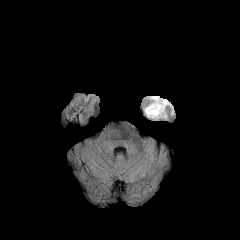
FLAIR MRI.
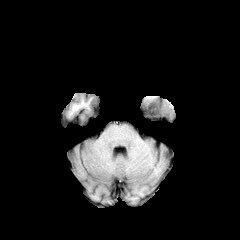
T1-weighted MR image.
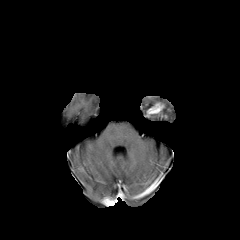
Same slice, post-contrast T1-weighted MRI.
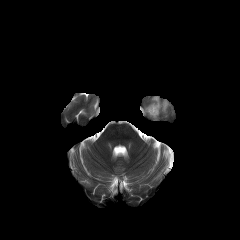
T2-weighted MR image of the same slice.
Brain
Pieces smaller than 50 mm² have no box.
enhancing tumor: {"x1": 146, "y1": 102, "x2": 166, "y2": 118}
peritumoral edema: {"x1": 144, "y1": 96, "x2": 174, "y2": 114}